240x240; Slice index 105; Head
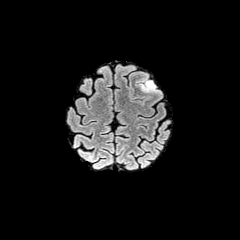
FLAIR magnetic resonance.
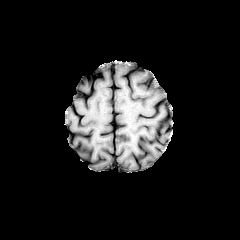
Same slice, T1-weighted MR.
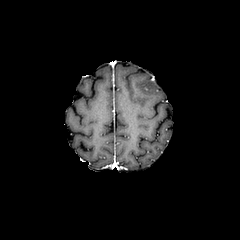
Post-contrast T1-weighted magnetic resonance of the same slice.
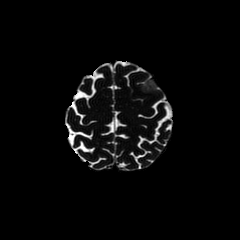
T2-weighted MR image.
<segmentation>
  <peritumoral_edema>x1=140 y1=79 x2=159 y2=93</peritumoral_edema>
</segmentation>